FLAIR magnetic resonance.
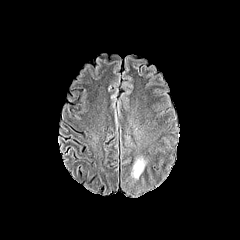
T1-weighted MR.
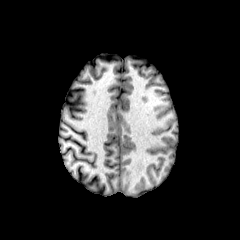
Post-contrast T1-weighted MR.
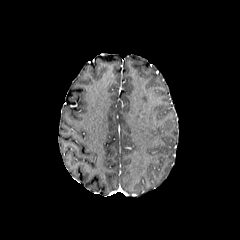
T2-weighted MRI.
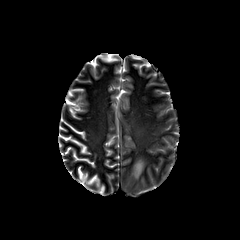
240x240 px
peritumoral edema at 132 157 147 178